FLAIR MR.
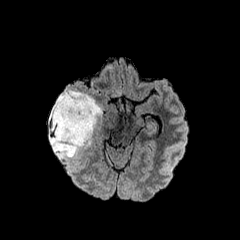
T1-weighted magnetic resonance.
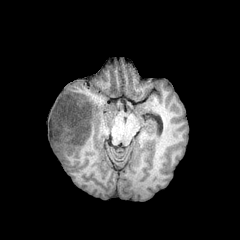
Post-contrast T1-weighted MR.
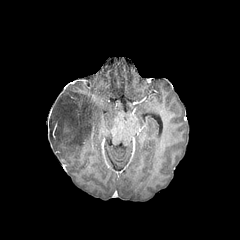
T2-weighted MR.
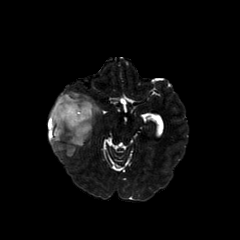
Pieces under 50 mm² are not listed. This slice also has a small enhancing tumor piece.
{
  "peritumoral_edema": [
    "(left=48, top=90, right=102, bottom=158)"
  ]
}